Head.
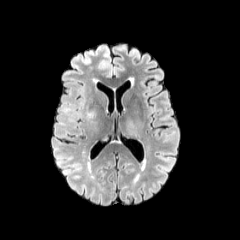
FLAIR MR image.
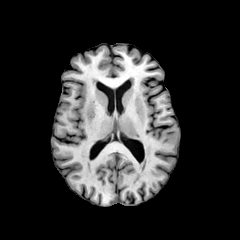
T1-weighted MR.
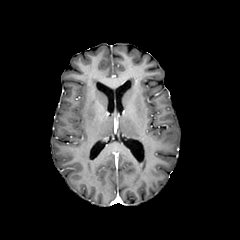
Post-contrast T1-weighted magnetic resonance.
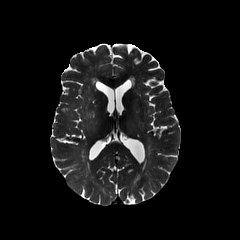
T2-weighted magnetic resonance.
<segmentation>
  <peritumoral_edema>(left=87, top=108, right=96, bottom=118)</peritumoral_edema>
</segmentation>